FLAIR MR.
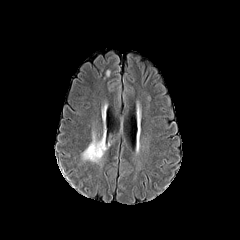
T1-weighted MRI.
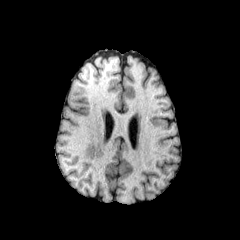
Post-contrast T1-weighted MR image.
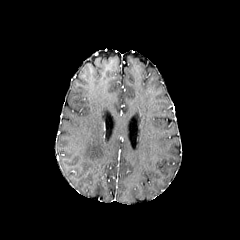
T2-weighted MR image.
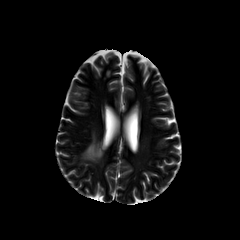
240x240 px | Axial view
The peritumoral edema is at x1=82, y1=132, x2=106, y2=162.